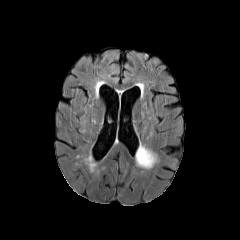
FLAIR MR.
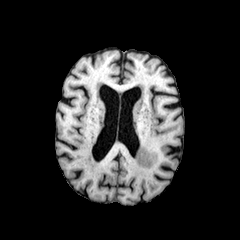
T1-weighted MR image.
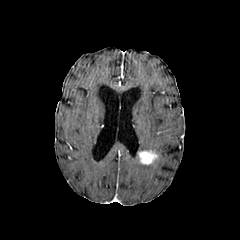
Same slice, post-contrast T1-weighted MRI.
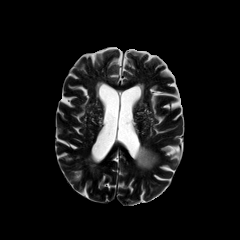
T2-weighted MR image.
Brain, Axial slice, 240x240
enhancing_tumor:
  - 138 150 157 164
peritumoral_edema:
  - 135 143 158 169